Slice 83/155; Image size 240x240; Axial plane; Image covers 240 mm x 240 mm; Brain
FLAIR magnetic resonance.
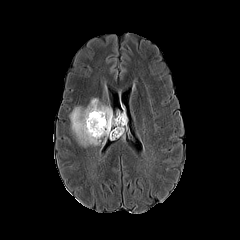
T1-weighted MRI.
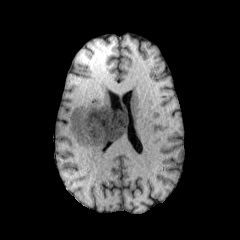
Post-contrast T1-weighted MR image.
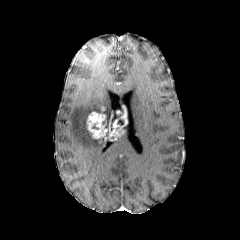
T2-weighted MR image.
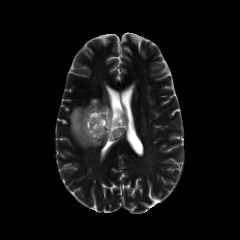
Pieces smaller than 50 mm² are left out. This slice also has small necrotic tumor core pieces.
The enhancing tumor appears at x1=86 y1=107 x2=127 y2=140. The largest peritumoral edema region is at x1=69 y1=98 x2=112 y2=146.